Brain, Axial plane
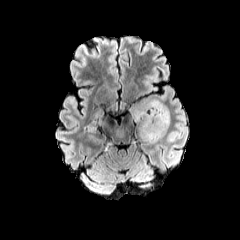
FLAIR MR.
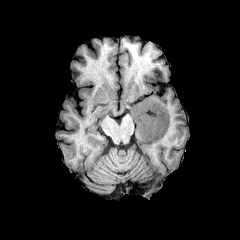
T1-weighted MRI.
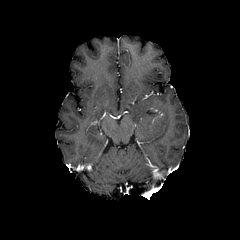
Post-contrast T1-weighted magnetic resonance of the same slice.
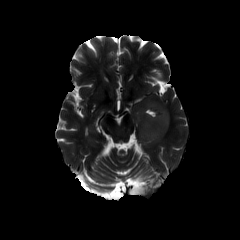
T2-weighted MR image.
The peritumoral edema is at (left=132, top=97, right=169, bottom=142). The enhancing tumor is located at (left=151, top=108, right=161, bottom=119).